Slice index 41; Axial plane
FLAIR magnetic resonance.
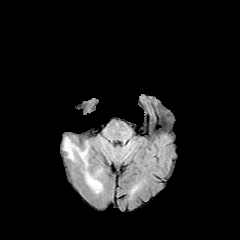
T1-weighted MR.
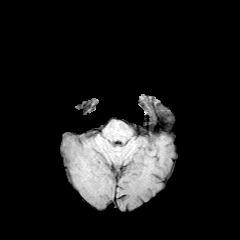
Post-contrast T1-weighted MR.
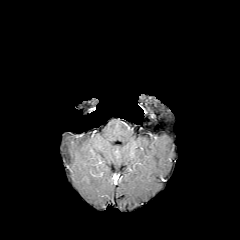
T2-weighted MR.
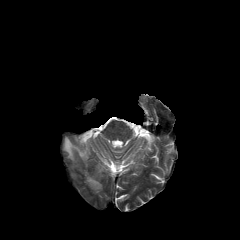
peritumoral edema: (64, 137, 88, 164), (86, 173, 102, 192)